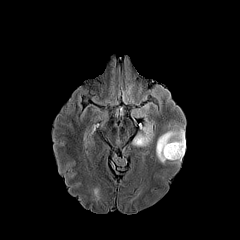
FLAIR MRI.
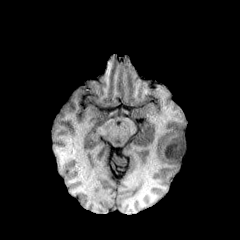
T1-weighted MR image.
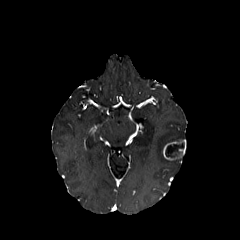
Post-contrast T1-weighted magnetic resonance.
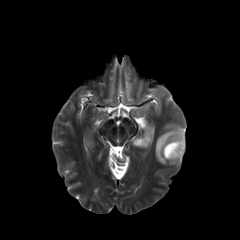
Same slice, T2-weighted MR image.
Axial slice, Brain
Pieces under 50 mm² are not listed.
The necrotic tumor core appears at rect(165, 143, 184, 157). The 2 largest peritumoral edema regions are bounded by rect(132, 121, 153, 147); rect(156, 125, 184, 164). The enhancing tumor appears at rect(163, 139, 185, 160).